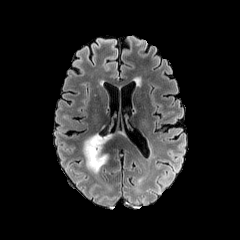
FLAIR magnetic resonance.
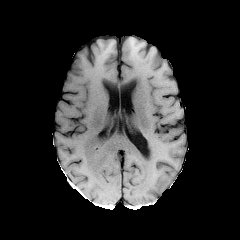
Same slice, T1-weighted MR.
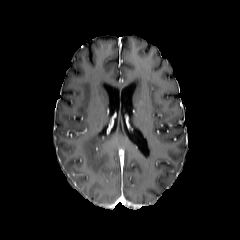
Post-contrast T1-weighted MR of the same slice.
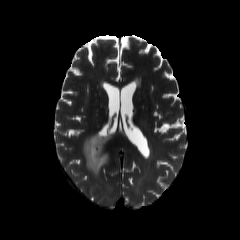
Same slice, T2-weighted MR.
Image size 240x240. Axial plane.
The peritumoral edema appears at (83,133,111,174).